FLAIR magnetic resonance.
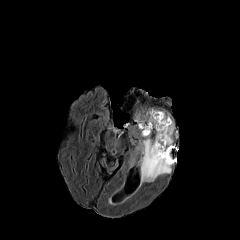
T1-weighted MRI.
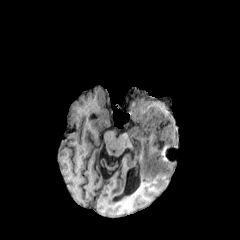
Post-contrast T1-weighted MR image.
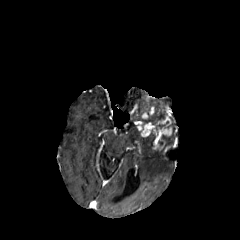
T2-weighted MR image.
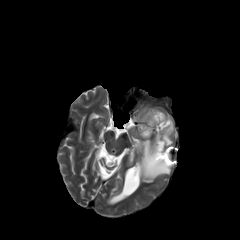
Axial plane. 240x240 px. Brain.
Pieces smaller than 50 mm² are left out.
{
  "peritumoral_edema": [
    "box=[140, 135, 176, 182]"
  ],
  "enhancing_tumor": [
    "box=[137, 108, 172, 150]"
  ],
  "necrotic_tumor_core": [
    "box=[143, 114, 164, 124]"
  ]
}